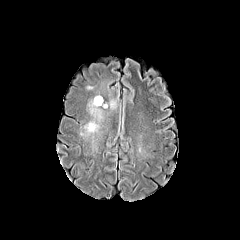
FLAIR MRI.
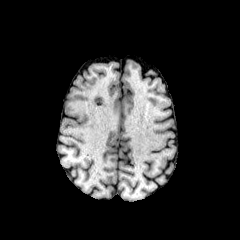
T1-weighted MR of the same slice.
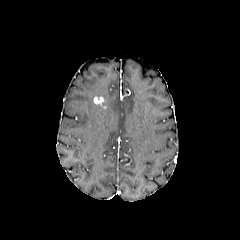
Post-contrast T1-weighted MR.
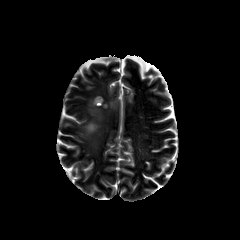
Same slice, T2-weighted MR image.
Head; Image size 240x240; Axial plane
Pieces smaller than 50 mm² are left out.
The largest enhancing tumor region lies within [x1=93, y1=97, x2=103, y2=105]. The 2 largest peritumoral edema regions are bounded by [x1=89, y1=100, x2=101, y2=119], [x1=84, y1=121, x2=98, y2=134].